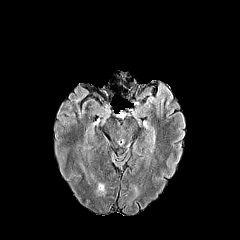
FLAIR magnetic resonance.
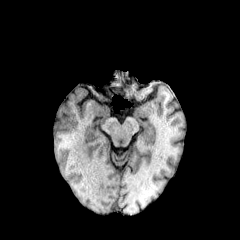
T1-weighted MR image.
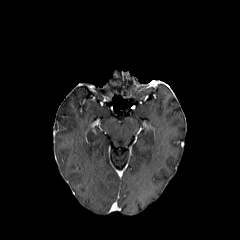
Post-contrast T1-weighted MR.
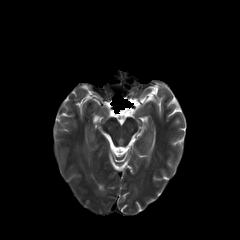
T2-weighted MR image.
240x240 px
peritumoral edema — 98:183:104:193